Axial slice
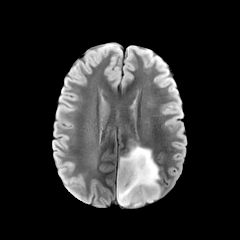
FLAIR magnetic resonance.
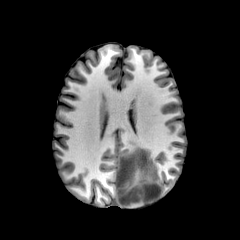
T1-weighted MRI of the same slice.
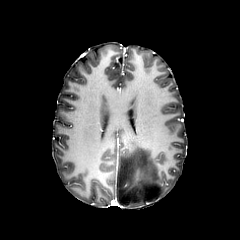
Post-contrast T1-weighted magnetic resonance.
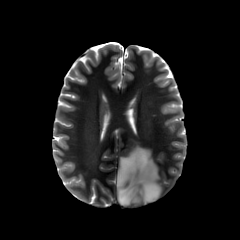
Same slice, T2-weighted MR.
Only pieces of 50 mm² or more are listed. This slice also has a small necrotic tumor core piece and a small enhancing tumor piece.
{
  "peritumoral_edema": [
    "region(117, 145, 161, 206)"
  ]
}